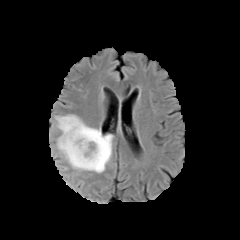
FLAIR MRI.
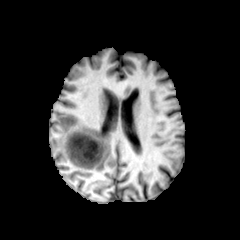
Same slice, T1-weighted MRI.
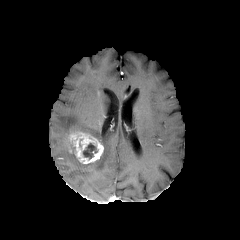
Post-contrast T1-weighted MRI of the same slice.
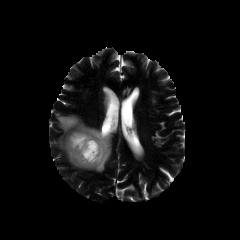
Same slice, T2-weighted MR.
Head.
{"enhancing_tumor": ["(left=66, top=131, right=103, bottom=164)"], "peritumoral_edema": ["(left=55, top=114, right=112, bottom=172)"], "necrotic_tumor_core": ["(left=83, top=143, right=97, bottom=158)"]}